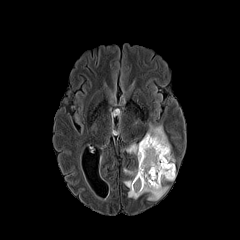
FLAIR MRI.
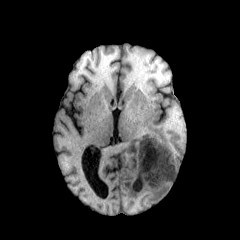
Same slice, T1-weighted MR.
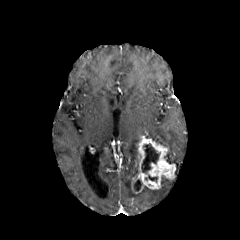
Post-contrast T1-weighted MR image of the same slice.
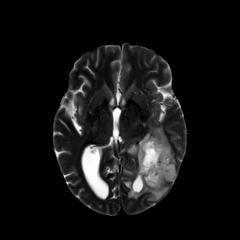
T2-weighted MRI.
Axial view; 240x240 px
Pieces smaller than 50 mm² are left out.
peritumoral edema = x1=126, y1=143, x2=137, y2=159; x1=124, y1=179, x2=168, y2=200; x1=124, y1=169, x2=138, y2=177; x1=145, y1=123, x2=175, y2=164
enhancing tumor = x1=132, y1=137, x2=175, y2=193
necrotic tumor core = x1=141, y1=143, x2=159, y2=173; x1=145, y1=175, x2=157, y2=181; x1=134, y1=180, x2=140, y2=190